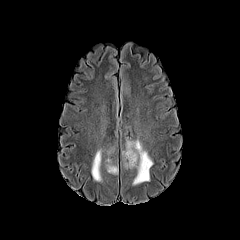
FLAIR MRI.
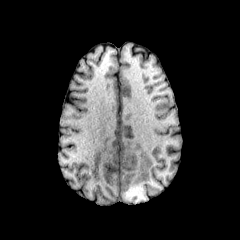
T1-weighted MR.
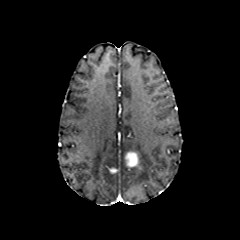
Post-contrast T1-weighted magnetic resonance.
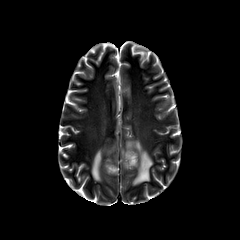
T2-weighted MR image.
240x240 | Axial slice
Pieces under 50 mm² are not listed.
enhancing tumor — (x1=125, y1=151, x2=138, y2=167)
peritumoral edema — (x1=105, y1=157, x2=117, y2=172), (x1=122, y1=139, x2=153, y2=185), (x1=91, y1=149, x2=102, y2=181)